Slice 62 of 155
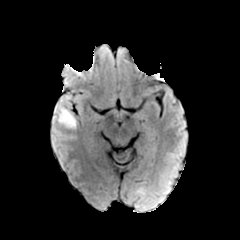
FLAIR MR.
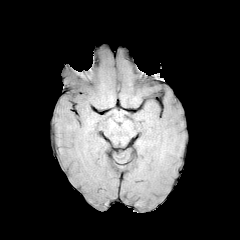
T1-weighted magnetic resonance.
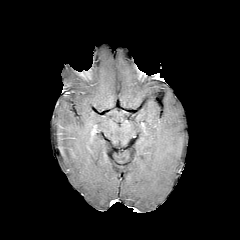
Post-contrast T1-weighted MR.
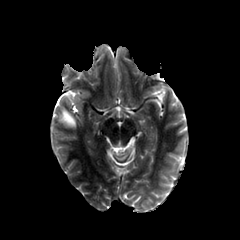
T2-weighted MRI.
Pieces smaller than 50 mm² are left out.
peritumoral edema: 57 105 76 128